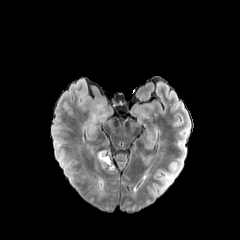
FLAIR magnetic resonance.
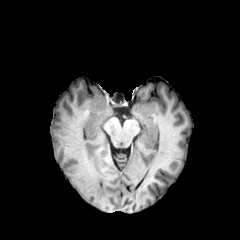
T1-weighted MR image of the same slice.
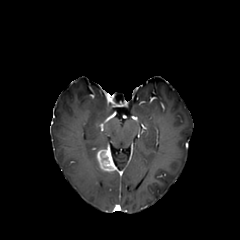
Post-contrast T1-weighted MR image.
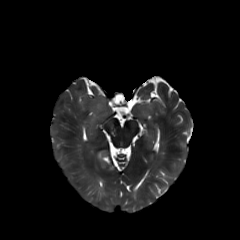
Same slice, T2-weighted MR.
Head
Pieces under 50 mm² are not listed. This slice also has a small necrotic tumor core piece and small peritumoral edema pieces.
The enhancing tumor is bounded by l=96, t=149, r=115, b=172.